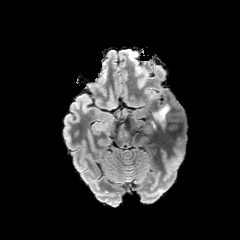
FLAIR MR image.
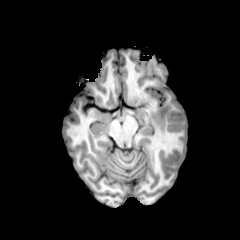
T1-weighted magnetic resonance.
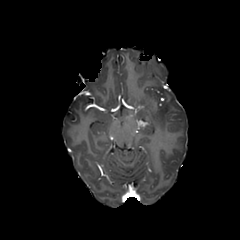
Same slice, post-contrast T1-weighted MRI.
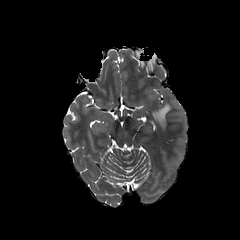
T2-weighted MRI.
Axial plane; Brain
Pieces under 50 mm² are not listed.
<segmentation>
  <peritumoral_edema>153, 104, 170, 126</peritumoral_edema>
</segmentation>